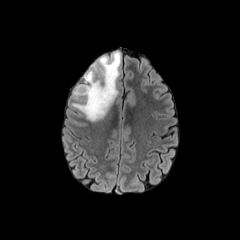
FLAIR MRI.
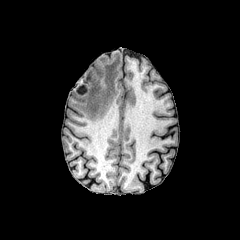
T1-weighted magnetic resonance.
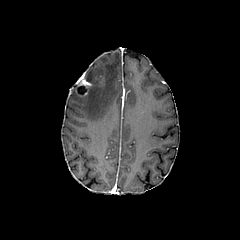
Post-contrast T1-weighted MRI of the same slice.
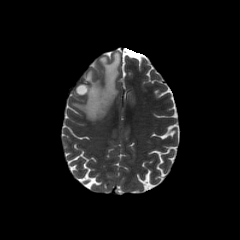
T2-weighted MR image.
Brain
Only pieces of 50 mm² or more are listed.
Segmented structures:
- peritumoral edema: (74, 52, 120, 121)
- enhancing tumor: (74, 74, 91, 96)
- necrotic tumor core: (77, 86, 86, 94)